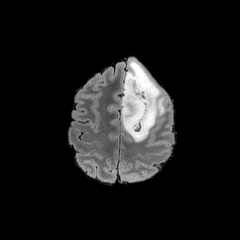
FLAIR MR.
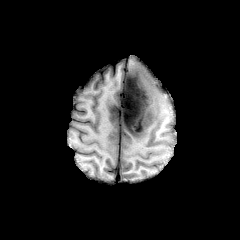
T1-weighted MRI.
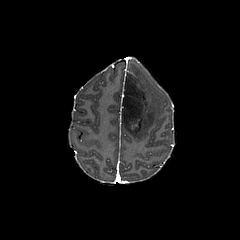
Post-contrast T1-weighted MR.
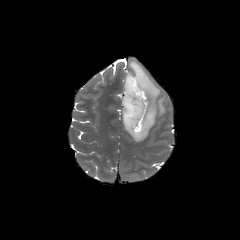
Same slice, T2-weighted MRI.
Axial slice.
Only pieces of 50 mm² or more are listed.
The necrotic tumor core is bounded by 121 70 147 135. The largest peritumoral edema region is located at 130 60 164 141.